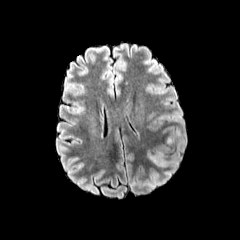
FLAIR MR image.
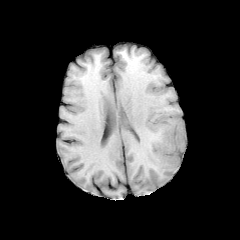
T1-weighted MRI.
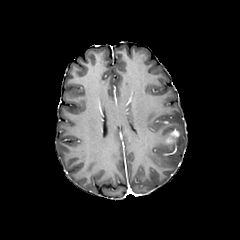
Same slice, post-contrast T1-weighted magnetic resonance.
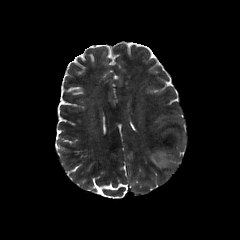
Same slice, T2-weighted magnetic resonance.
Head; Axial plane; Image size 240x240
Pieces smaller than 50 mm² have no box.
peritumoral_edema:
  - [x1=147, y1=150, x2=169, y2=167]
enhancing_tumor:
  - [x1=165, y1=132, x2=173, y2=144]